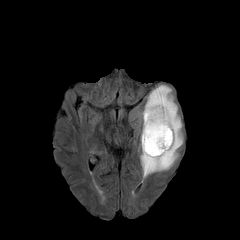
FLAIR MR.
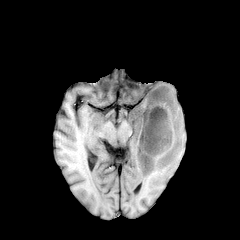
T1-weighted magnetic resonance of the same slice.
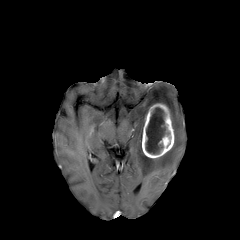
Same slice, post-contrast T1-weighted MRI.
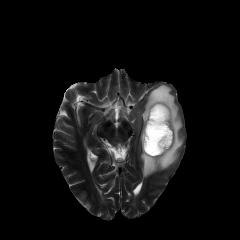
T2-weighted MR image.
Image size 240x240 | Head
Segmented structures:
* enhancing tumor: region(142, 103, 174, 158)
* necrotic tumor core: region(145, 107, 169, 154)
* peritumoral edema: region(137, 84, 183, 177)